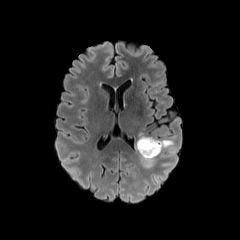
FLAIR magnetic resonance.
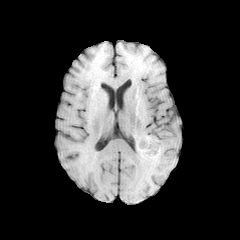
T1-weighted MRI of the same slice.
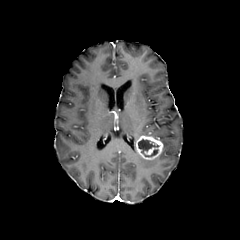
Post-contrast T1-weighted MRI.
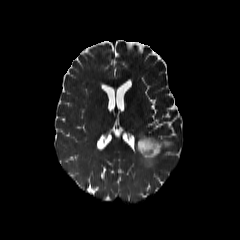
T2-weighted MRI.
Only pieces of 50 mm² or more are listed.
necrotic_tumor_core:
  - region(138, 139, 158, 153)
peritumoral_edema:
  - region(138, 154, 156, 168)
  - region(160, 139, 173, 152)
enhancing_tumor:
  - region(135, 135, 163, 160)